Image size 240x240
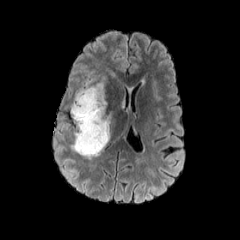
FLAIR MR image.
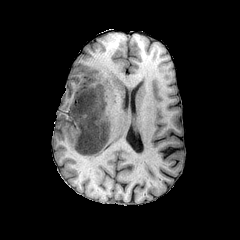
T1-weighted MR of the same slice.
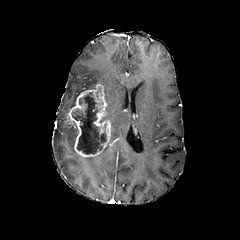
Post-contrast T1-weighted MR image.
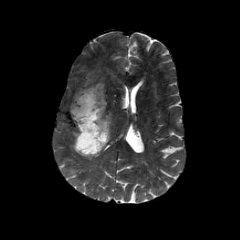
Same slice, T2-weighted MR.
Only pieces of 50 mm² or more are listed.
{
  "necrotic_tumor_core": [
    "[72,92,106,155]"
  ],
  "peritumoral_edema": [
    "[69,77,104,108]",
    "[107,113,114,134]"
  ],
  "enhancing_tumor": [
    "[72,117,101,156]",
    "[70,83,111,149]"
  ]
}